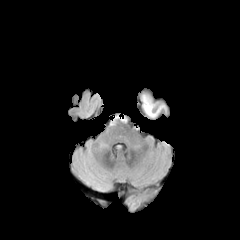
FLAIR MR.
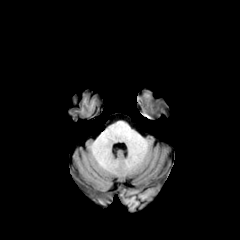
T1-weighted magnetic resonance of the same slice.
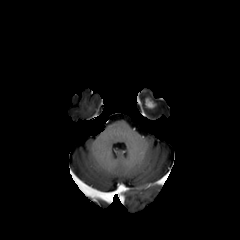
Post-contrast T1-weighted MR of the same slice.
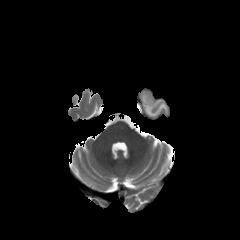
Same slice, T2-weighted MR.
Axial slice, Brain
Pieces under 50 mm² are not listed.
{"enhancing_tumor": ["(left=145, top=97, right=155, bottom=108)"], "peritumoral_edema": ["(left=142, top=95, right=156, bottom=116)"]}